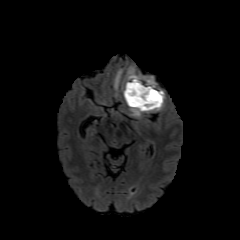
FLAIR MR.
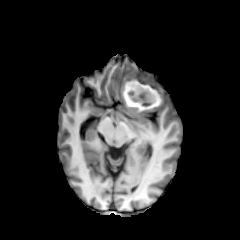
T1-weighted MR.
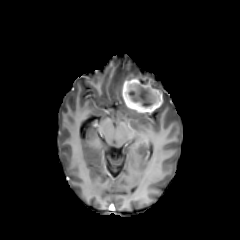
Post-contrast T1-weighted MR.
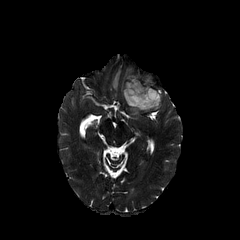
T2-weighted MR image.
Axial slice. 240x240. Head.
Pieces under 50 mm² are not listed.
peritumoral_edema:
  - l=113, t=69, r=122, b=90
  - l=130, t=109, r=140, b=116
  - l=125, t=66, r=137, b=77
  - l=151, t=85, r=164, b=110
enhancing_tumor:
  - l=122, t=73, r=162, b=112
necrotic_tumor_core:
  - l=127, t=83, r=159, b=108